FLAIR MR.
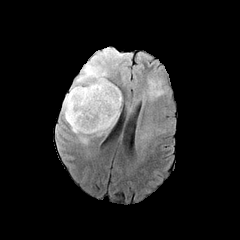
T1-weighted MR.
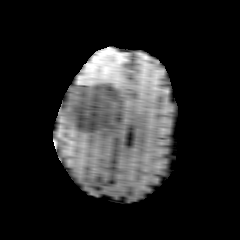
Post-contrast T1-weighted MRI.
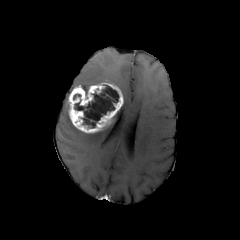
T2-weighted magnetic resonance.
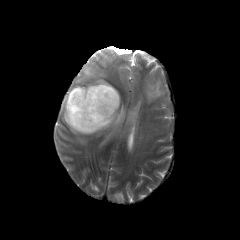
Axial view, Head, 240x240 px
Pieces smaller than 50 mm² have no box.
The largest necrotic tumor core region appears at 83, 86, 118, 127. 2 peritumoral edema regions are located at 68, 62, 106, 93; 61, 94, 121, 144. The largest enhancing tumor region is bounded by 68, 81, 123, 133.